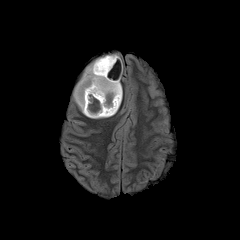
FLAIR MR image.
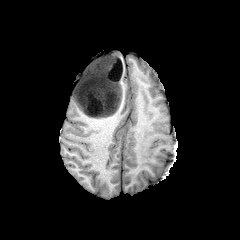
T1-weighted MR.
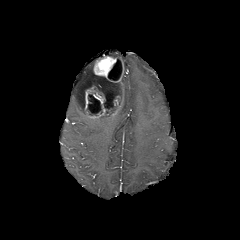
Post-contrast T1-weighted MRI.
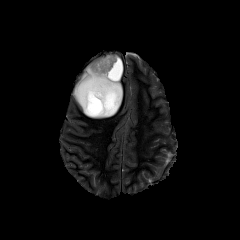
T2-weighted MR image.
Brain; Axial view
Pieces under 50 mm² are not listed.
enhancing tumor: bounding box (left=84, top=86, right=107, bottom=118), (left=112, top=96, right=120, bottom=115), (left=93, top=55, right=123, bottom=82)
necrotic tumor core: bounding box (left=92, top=75, right=120, bottom=115), (left=87, top=94, right=102, bottom=115), (left=108, top=59, right=122, bottom=80)
peritumoral edema: bounding box (left=73, top=60, right=95, bottom=116), (left=119, top=81, right=122, bottom=106)